Axial plane; Slice 126 of 155; Brain; Image width 240 mm, 1.00 mm slice spacing; 240x240
FLAIR MR.
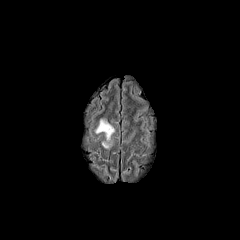
T1-weighted MRI.
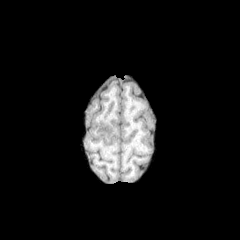
Post-contrast T1-weighted MRI.
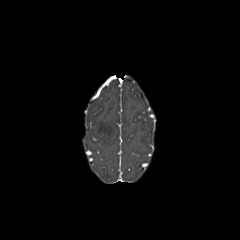
T2-weighted MRI.
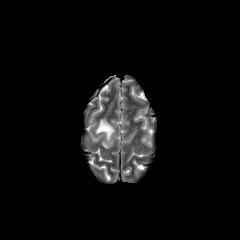
- peritumoral edema: [x1=95, y1=119, x2=114, y2=148]